Brain | 240x240 px | Axial slice
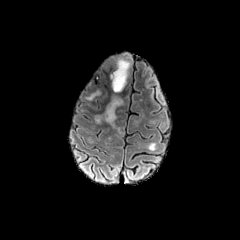
FLAIR MR.
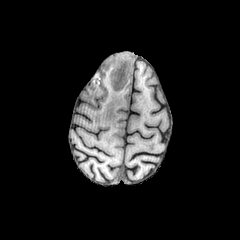
T1-weighted magnetic resonance of the same slice.
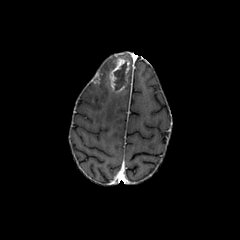
Post-contrast T1-weighted magnetic resonance.
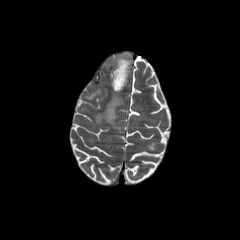
T2-weighted MR image of the same slice.
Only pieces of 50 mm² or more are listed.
necrotic_tumor_core:
  - 114 62 126 90
peritumoral_edema:
  - 95 94 123 127
  - 86 92 98 100
enhancing_tumor:
  - 109 56 129 92